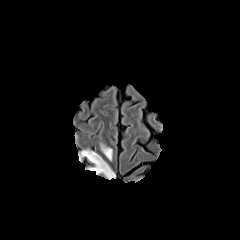
FLAIR MRI.
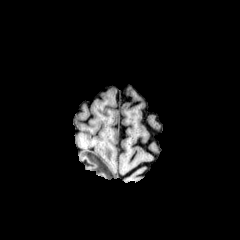
T1-weighted MR.
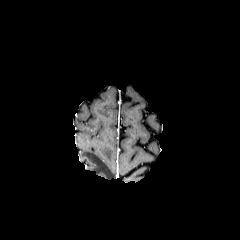
Post-contrast T1-weighted MR.
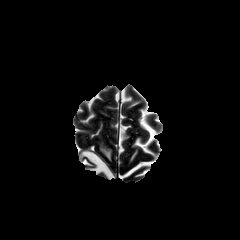
T2-weighted MRI of the same slice.
Annotated regions:
- peritumoral edema: [79, 150, 115, 179], [101, 145, 112, 160]